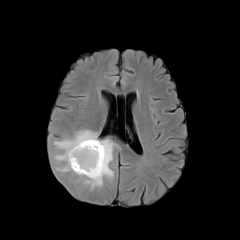
FLAIR MR image.
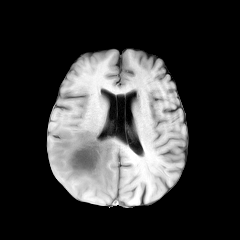
T1-weighted MR image.
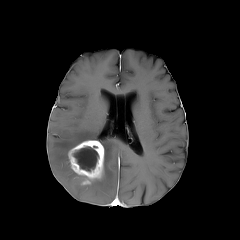
Post-contrast T1-weighted MR image of the same slice.
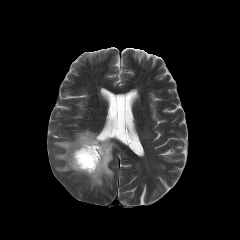
Same slice, T2-weighted MR.
Brain | Axial view
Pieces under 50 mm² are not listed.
The enhancing tumor lies within [68, 140, 104, 184]. The largest necrotic tumor core region appears at [74, 147, 98, 171]. The peritumoral edema is at [53, 129, 116, 189].